Head, Image covers 240 mm x 240 mm
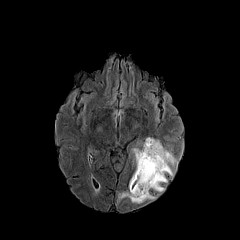
FLAIR magnetic resonance.
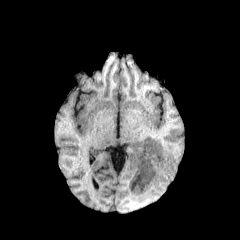
Same slice, T1-weighted magnetic resonance.
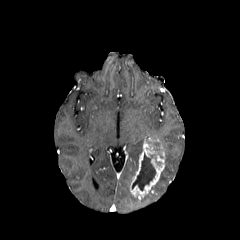
Post-contrast T1-weighted MR.
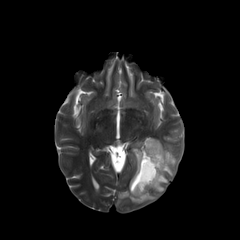
T2-weighted MRI of the same slice.
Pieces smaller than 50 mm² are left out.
The enhancing tumor is at 130, 137, 165, 198. The largest necrotic tumor core region is located at 132, 153, 155, 190. The 3 largest peritumoral edema regions are bounded by 117, 184, 156, 202; 152, 145, 177, 192; 132, 148, 141, 169.